Axial view | Image covers 240 mm x 240 mm
FLAIR MRI.
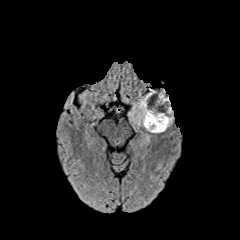
T1-weighted magnetic resonance.
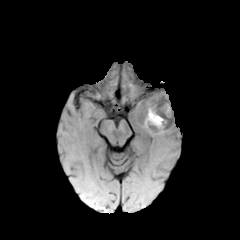
Post-contrast T1-weighted magnetic resonance.
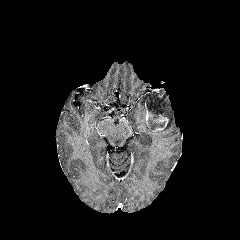
T2-weighted MR image.
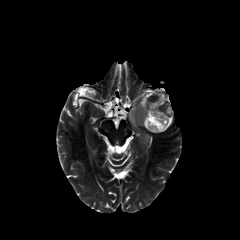
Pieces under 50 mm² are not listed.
necrotic tumor core: box=[146, 92, 167, 128] | enhancing tumor: box=[145, 100, 152, 126]; box=[153, 113, 168, 131] | peritumoral edema: box=[129, 90, 173, 133]